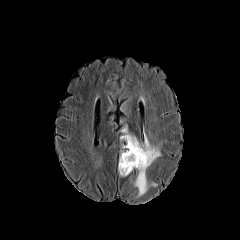
FLAIR magnetic resonance.
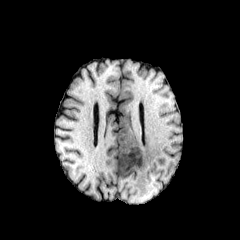
T1-weighted magnetic resonance.
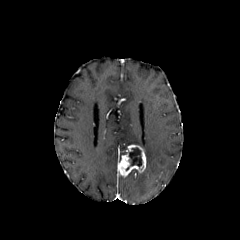
Post-contrast T1-weighted MR of the same slice.
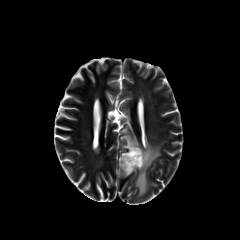
Same slice, T2-weighted MRI.
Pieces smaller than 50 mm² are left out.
necrotic tumor core: bounding box left=129, top=148, right=141, bottom=166
enhancing tumor: bounding box left=118, top=145, right=146, bottom=177
peritumoral edema: bounding box left=120, top=127, right=160, bottom=196